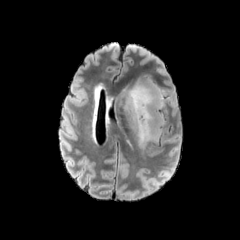
FLAIR MR image.
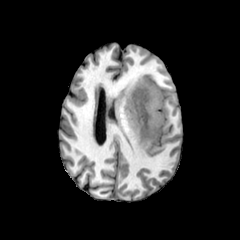
Same slice, T1-weighted MR image.
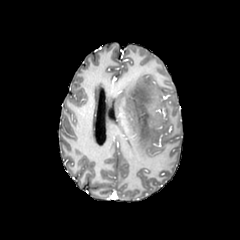
Same slice, post-contrast T1-weighted magnetic resonance.
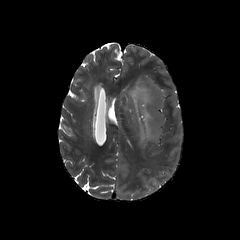
T2-weighted MR.
Image size 240x240 | Head
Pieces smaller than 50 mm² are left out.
peritumoral edema: [x1=120, y1=76, x2=167, y2=149]